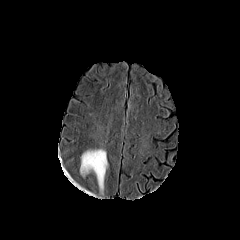
FLAIR magnetic resonance.
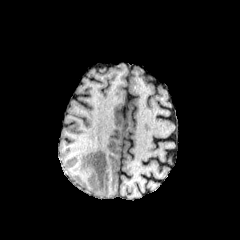
Same slice, T1-weighted MR image.
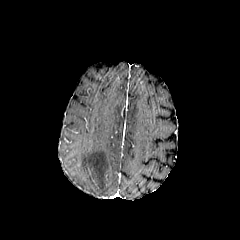
Post-contrast T1-weighted MR image.
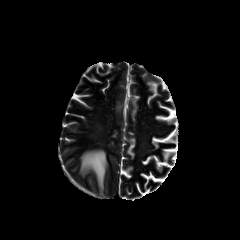
T2-weighted magnetic resonance.
Image size 240x240
The peritumoral edema is bounded by region(80, 149, 108, 193).